FLAIR MR image.
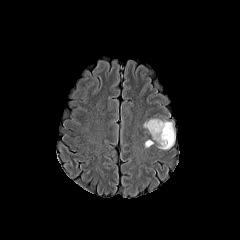
T1-weighted magnetic resonance.
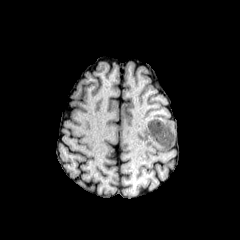
Post-contrast T1-weighted MR image.
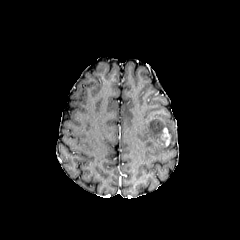
T2-weighted MR image.
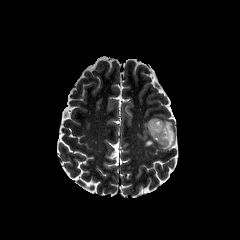
Axial slice, Brain
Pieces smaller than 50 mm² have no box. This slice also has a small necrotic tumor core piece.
enhancing tumor — <box>161,127,170,146</box>
peritumoral edema — <box>145,140,153,147</box>, <box>144,119,175,149</box>